FLAIR magnetic resonance.
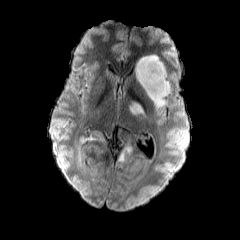
T1-weighted MR image.
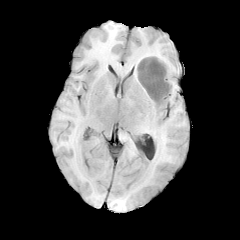
Post-contrast T1-weighted MRI.
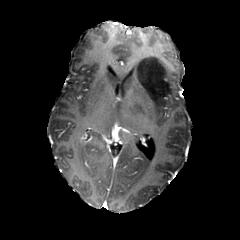
T2-weighted MR.
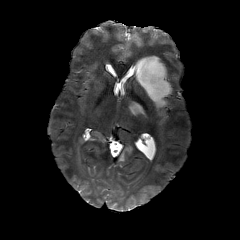
Axial view | 240x240 | Head
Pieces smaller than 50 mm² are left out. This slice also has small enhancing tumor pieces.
peritumoral edema — 130, 100, 145, 114; 135, 55, 171, 107; 119, 148, 131, 161